Slice 43/155; Image size 240x240; Head
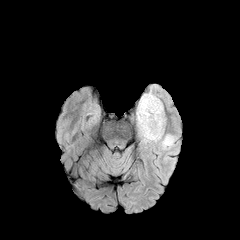
FLAIR MRI.
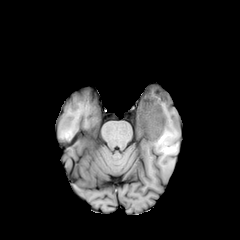
Same slice, T1-weighted MRI.
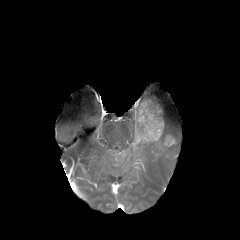
Post-contrast T1-weighted MR.
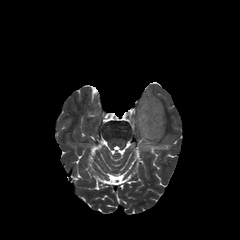
T2-weighted magnetic resonance.
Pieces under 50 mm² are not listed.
The largest enhancing tumor region appears at 135, 99, 163, 142. The largest peritumoral edema region lies within 136, 88, 175, 149.